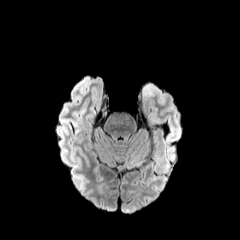
FLAIR magnetic resonance.
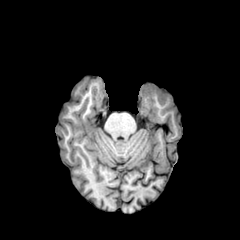
T1-weighted MRI of the same slice.
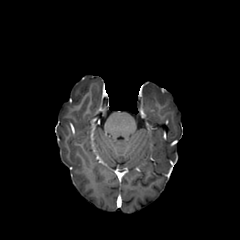
Post-contrast T1-weighted MR.
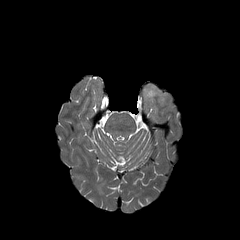
T2-weighted MRI of the same slice.
Findings:
* peritumoral edema: l=143, t=83, r=156, b=98